Image width 240 mm, 1.00 mm slice spacing | 240x240 | Slice 78 of 155
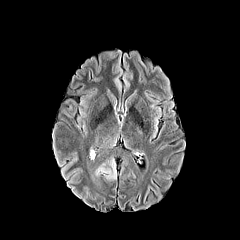
FLAIR magnetic resonance.
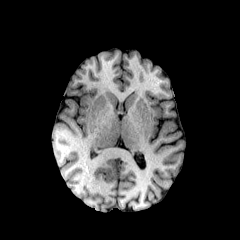
T1-weighted magnetic resonance.
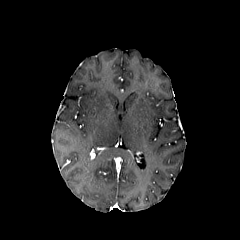
Post-contrast T1-weighted MRI.
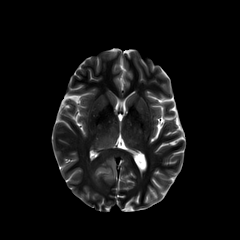
T2-weighted magnetic resonance of the same slice.
<segmentation>
  <peritumoral_edema>96, 161, 116, 178</peritumoral_edema>
</segmentation>